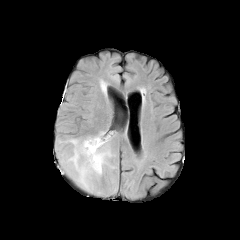
FLAIR magnetic resonance.
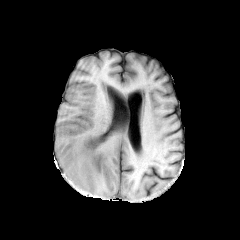
T1-weighted MRI of the same slice.
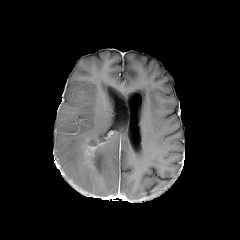
Post-contrast T1-weighted MR image of the same slice.
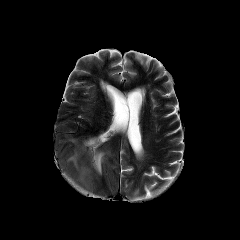
T2-weighted magnetic resonance.
Axial plane. Head.
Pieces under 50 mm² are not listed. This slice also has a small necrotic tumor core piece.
The enhancing tumor appears at region(84, 137, 103, 163). The 2 largest peritumoral edema regions are bounded by region(68, 139, 110, 187); region(94, 133, 104, 142).